FLAIR magnetic resonance.
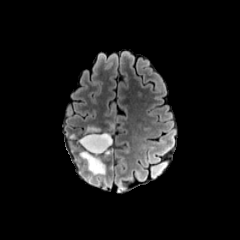
T1-weighted magnetic resonance.
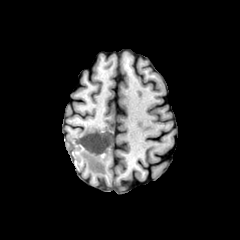
Post-contrast T1-weighted MR.
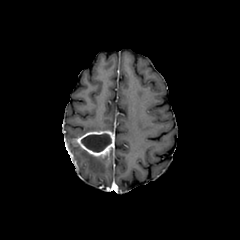
T2-weighted MR image.
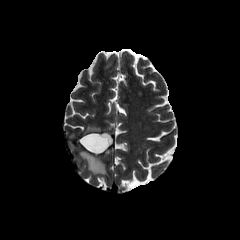
Brain
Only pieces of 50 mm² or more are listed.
necrotic tumor core at (left=81, top=134, right=111, bottom=152)
peritumoral edema at (left=80, top=150, right=105, bottom=174), (left=85, top=126, right=101, bottom=133)
enhancing tumor at (left=77, top=131, right=113, bottom=156)